FLAIR magnetic resonance.
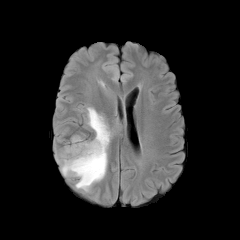
T1-weighted MR.
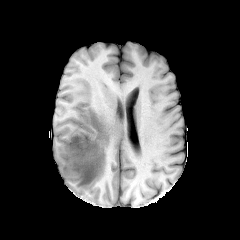
Post-contrast T1-weighted magnetic resonance.
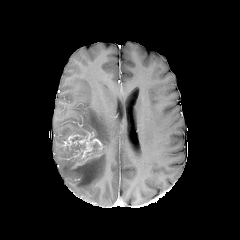
T2-weighted MR image.
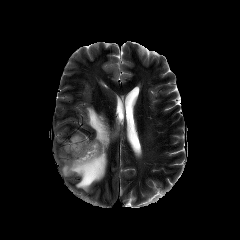
enhancing tumor: [63,134,103,168] | peritumoral edema: [57,107,112,191]